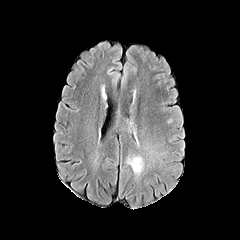
FLAIR MR image.
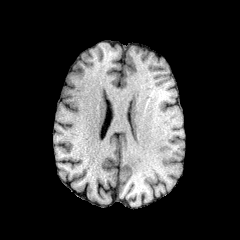
T1-weighted MR.
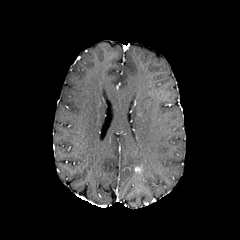
Post-contrast T1-weighted MRI.
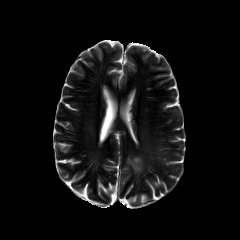
T2-weighted MR of the same slice.
Axial slice, 240x240 px, Head
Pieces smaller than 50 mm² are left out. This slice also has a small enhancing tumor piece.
Annotated regions:
• peritumoral edema: (127, 156, 142, 170)